FLAIR MR.
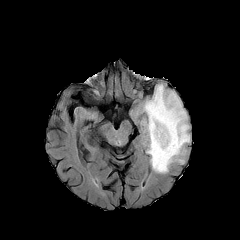
T1-weighted MR image.
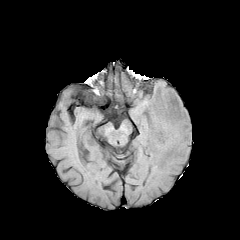
Post-contrast T1-weighted MR.
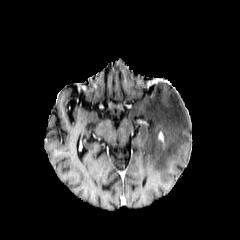
T2-weighted MRI.
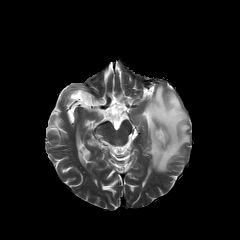
enhancing tumor: (158,131,163,142)
peritumoral edema: (142,84,190,173)